Image covers 240 mm x 240 mm | Head
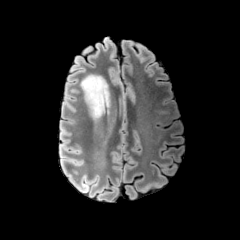
FLAIR MRI.
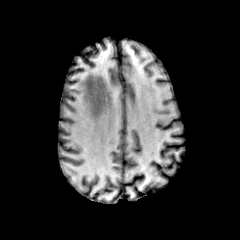
T1-weighted magnetic resonance.
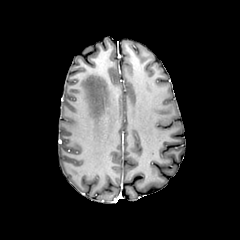
Post-contrast T1-weighted magnetic resonance.
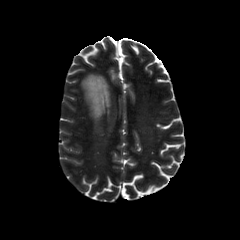
T2-weighted MRI of the same slice.
peritumoral edema = x1=81 y1=74 x2=110 y2=119